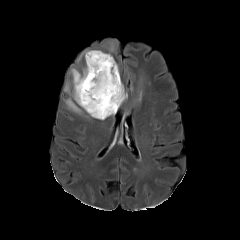
FLAIR MR.
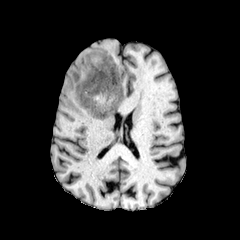
T1-weighted MR.
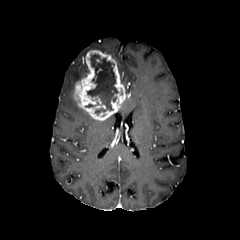
Post-contrast T1-weighted MR.
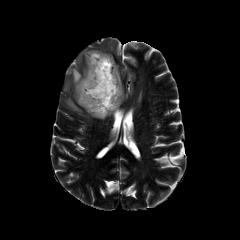
Same slice, T2-weighted magnetic resonance.
Axial view, Head
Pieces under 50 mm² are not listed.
necrotic tumor core: <bbox>87, 54, 117, 110</bbox> | enhancing tumor: <bbox>73, 50, 127, 120</bbox> | peritumoral edema: <bbox>70, 64, 88, 87</bbox>, <bbox>65, 98, 83, 114</bbox>, <bbox>64, 82, 73, 98</bbox>